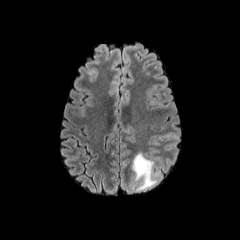
FLAIR MR.
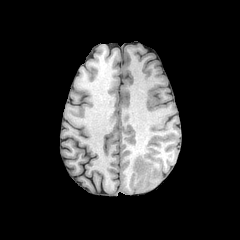
T1-weighted MR image.
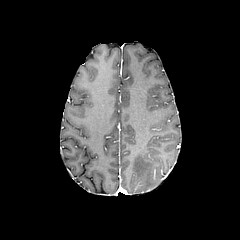
Same slice, post-contrast T1-weighted magnetic resonance.
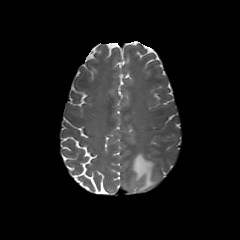
T2-weighted MRI of the same slice.
Axial plane. Head.
- peritumoral edema: bbox(132, 153, 156, 190)